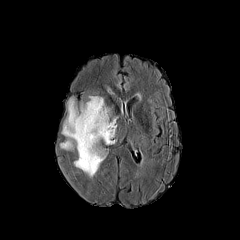
FLAIR MRI.
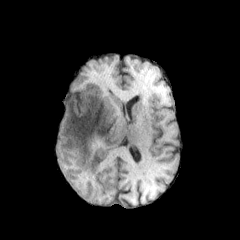
T1-weighted magnetic resonance.
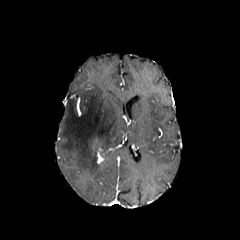
Post-contrast T1-weighted MRI.
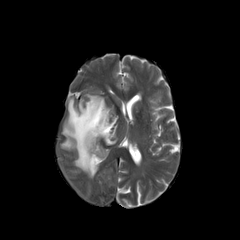
T2-weighted MR image of the same slice.
enhancing tumor — box=[97, 148, 103, 163]
peritumoral edema — box=[100, 148, 108, 158]; box=[60, 95, 117, 177]